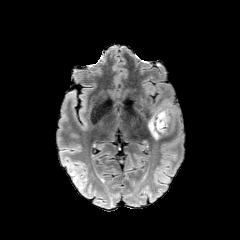
FLAIR magnetic resonance.
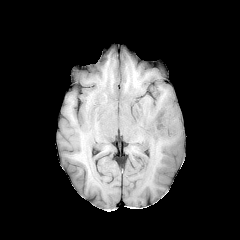
T1-weighted MRI of the same slice.
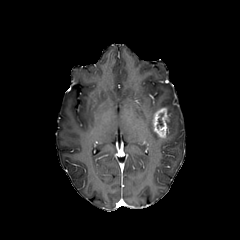
Post-contrast T1-weighted magnetic resonance.
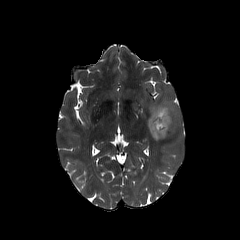
T2-weighted MR.
Axial slice. Image size 240x240. Head.
- peritumoral edema: [x1=148, y1=99, x2=177, y2=140]
- enhancing tumor: [x1=152, y1=107, x2=169, y2=138]
- necrotic tumor core: [x1=157, y1=113, x2=163, y2=128]